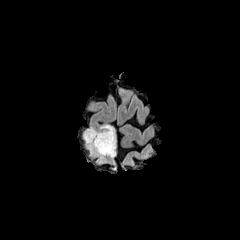
FLAIR MR.
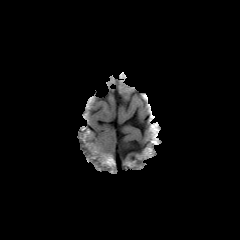
T1-weighted MRI.
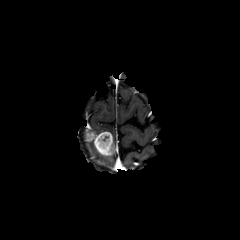
Same slice, post-contrast T1-weighted MRI.
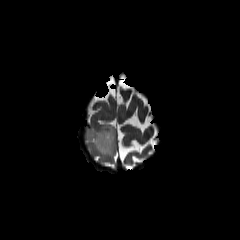
T2-weighted MRI of the same slice.
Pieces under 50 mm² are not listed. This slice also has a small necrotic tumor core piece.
{
  "enhancing_tumor": [
    {"x1": 86, "y1": 132, "x2": 114, "y2": 155}
  ],
  "peritumoral_edema": [
    {"x1": 83, "y1": 124, "x2": 115, "y2": 159}
  ]
}